Slice 101/155 | Brain
FLAIR magnetic resonance.
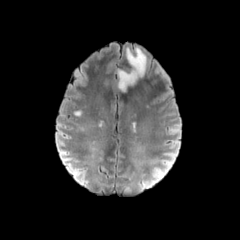
T1-weighted MR image.
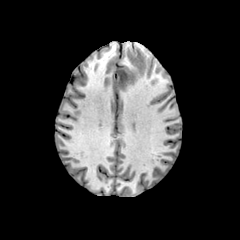
Post-contrast T1-weighted MRI.
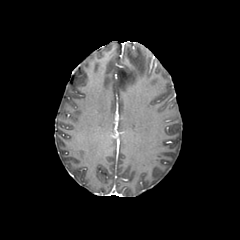
T2-weighted magnetic resonance.
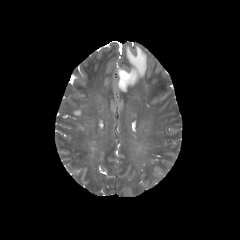
peritumoral edema: 118:47:146:91